FLAIR magnetic resonance.
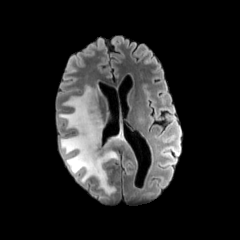
T1-weighted MR image.
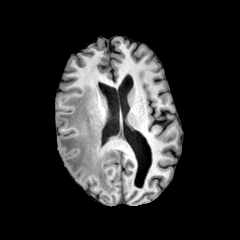
Post-contrast T1-weighted MR image.
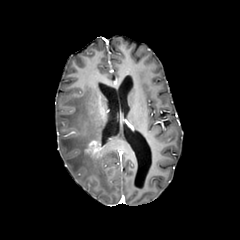
T2-weighted MR image.
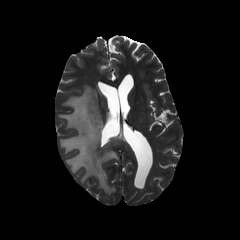
Axial plane. Head.
peritumoral edema: bounding box region(58, 85, 129, 194)
enhancing tumor: bounding box region(85, 140, 100, 155)